FLAIR MRI.
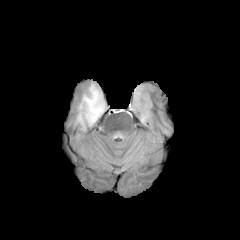
T1-weighted magnetic resonance.
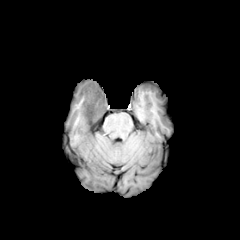
Post-contrast T1-weighted magnetic resonance.
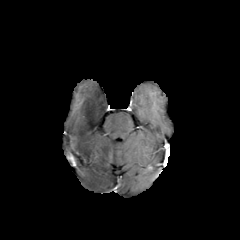
T2-weighted MRI.
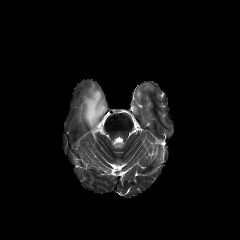
Head
<segmentation>
  <peritumoral_edema>[x1=77, y1=83, x2=106, y2=129]</peritumoral_edema>
  <necrotic_tumor_core>[x1=83, y1=92, x2=103, y2=126]</necrotic_tumor_core>
</segmentation>